Slice 91/155 | Head | Axial plane
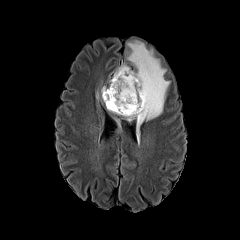
FLAIR MRI.
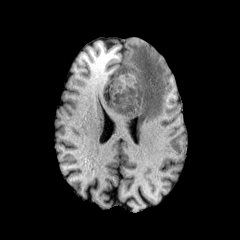
T1-weighted MRI.
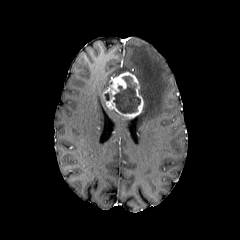
Same slice, post-contrast T1-weighted MR.
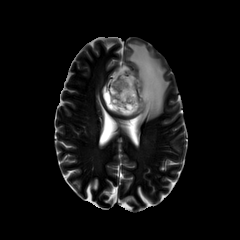
T2-weighted MR of the same slice.
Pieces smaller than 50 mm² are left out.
{
  "peritumoral_edema": [
    "(x1=114, y1=41, x2=169, y2=127)"
  ],
  "necrotic_tumor_core": [
    "(x1=113, y1=76, x2=140, y2=113)"
  ],
  "enhancing_tumor": [
    "(x1=102, y1=71, x2=143, y2=118)"
  ]
}